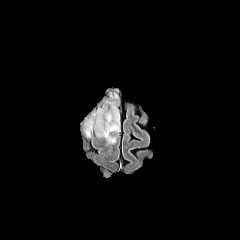
FLAIR magnetic resonance.
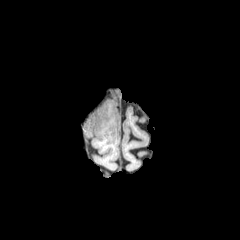
Same slice, T1-weighted magnetic resonance.
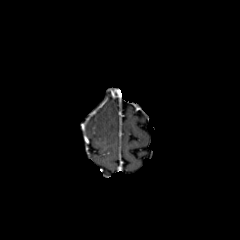
Post-contrast T1-weighted MR image of the same slice.
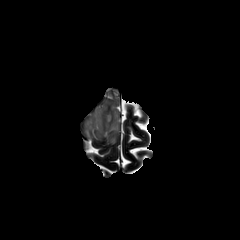
T2-weighted MRI.
Brain
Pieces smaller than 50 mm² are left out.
The 2 largest peritumoral edema regions appear at {"x1": 86, "y1": 119, "x2": 92, "y2": 136}, {"x1": 95, "y1": 103, "x2": 119, "y2": 143}.